FLAIR MR image.
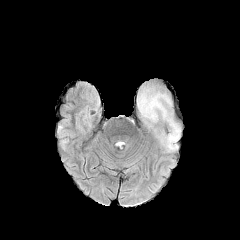
T1-weighted magnetic resonance.
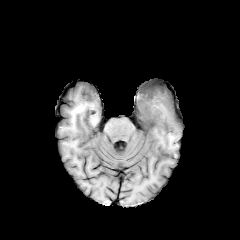
Post-contrast T1-weighted MRI.
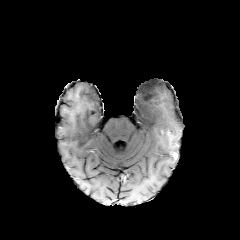
T2-weighted magnetic resonance.
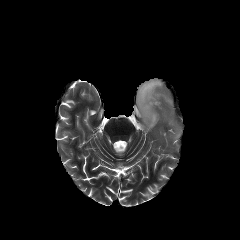
Image size 240x240; Axial view
The peritumoral edema lies within (left=134, top=79, right=181, bottom=150).